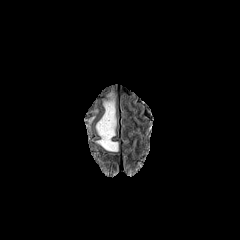
FLAIR magnetic resonance.
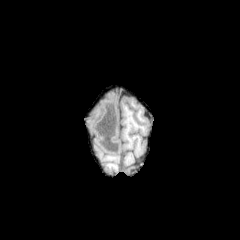
T1-weighted MRI.
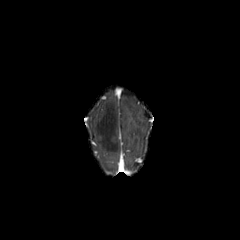
Same slice, post-contrast T1-weighted MRI.
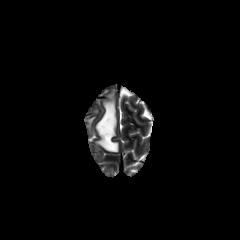
T2-weighted MR image.
Head, Axial view
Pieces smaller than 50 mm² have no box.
The largest peritumoral edema region is located at 96 93 118 151.